Head | Slice 88 of 155 | Image covers 240 mm x 240 mm | Axial view
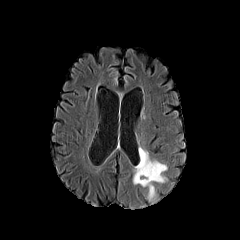
FLAIR MR.
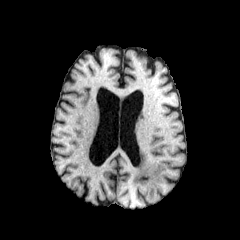
T1-weighted MR.
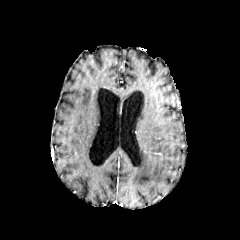
Same slice, post-contrast T1-weighted MRI.
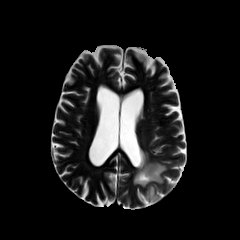
T2-weighted MR image.
• peritumoral edema: [133,147,166,200]